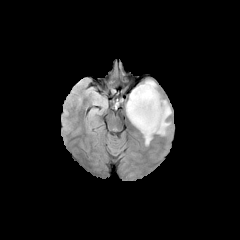
FLAIR MR.
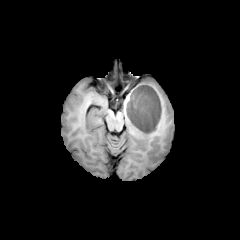
T1-weighted MR image of the same slice.
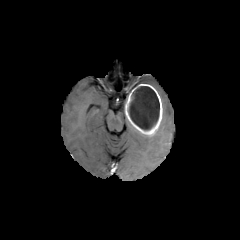
Post-contrast T1-weighted MR.
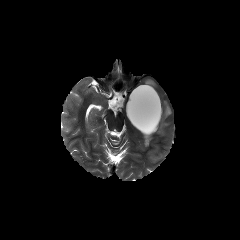
Same slice, T2-weighted MR.
240x240 px, Axial plane
necrotic tumor core at 128,86,159,130
peritumoral edema at 143,135,152,145; 155,100,171,135; 144,80,156,88
enhancing tumor at 125,84,162,136